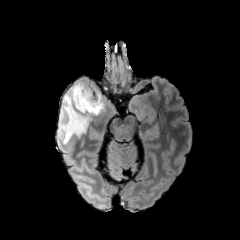
FLAIR magnetic resonance.
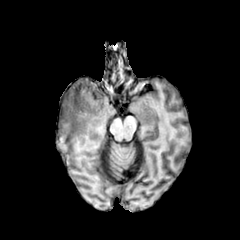
T1-weighted magnetic resonance.
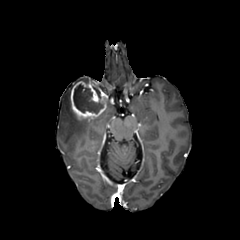
Post-contrast T1-weighted MRI of the same slice.
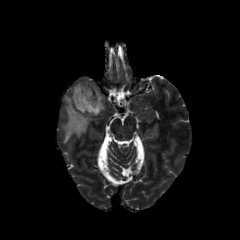
Same slice, T2-weighted MR.
Axial view, Brain
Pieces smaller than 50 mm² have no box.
enhancing_tumor:
  - x1=70 y1=81 x2=106 y2=120
peritumoral_edema:
  - x1=61 y1=87 x2=91 y2=142
necrotic_tumor_core:
  - x1=73 y1=84 x2=103 y2=113